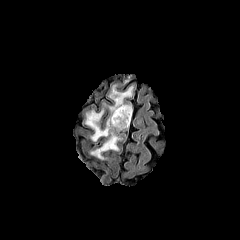
FLAIR MRI.
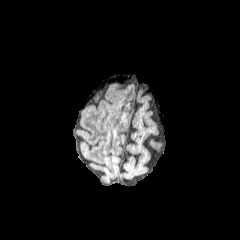
T1-weighted magnetic resonance.
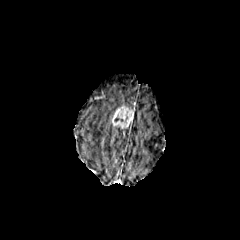
Post-contrast T1-weighted MR of the same slice.
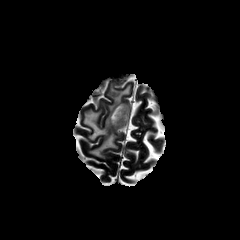
Same slice, T2-weighted magnetic resonance.
240x240 px | Brain
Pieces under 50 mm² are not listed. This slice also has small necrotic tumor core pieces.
enhancing tumor: bounding box 110:104:133:129
peritumoral edema: bounding box 109:86:133:116, 84:110:125:159